FLAIR MR.
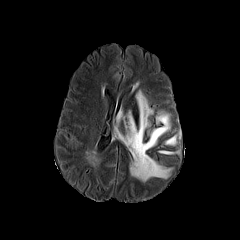
T1-weighted MRI.
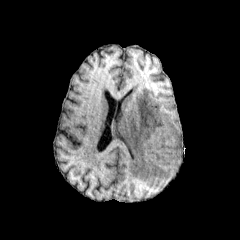
Post-contrast T1-weighted MR image.
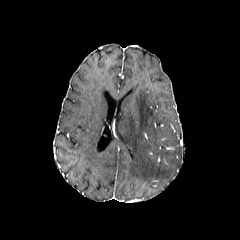
T2-weighted MR image.
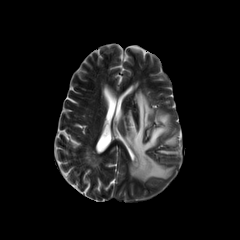
Axial plane; Brain
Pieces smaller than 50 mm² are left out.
peritumoral edema: 116:108:122:122, 118:91:171:181, 165:135:176:145